FLAIR MR image.
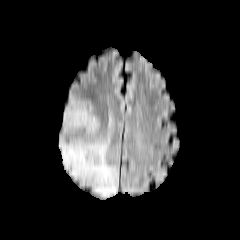
T1-weighted MR image.
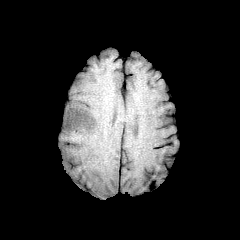
Post-contrast T1-weighted MR.
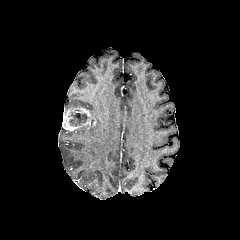
T2-weighted MR image.
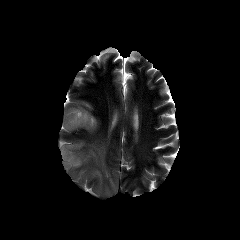
Axial slice, Brain
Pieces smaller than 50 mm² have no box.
peritumoral edema: bounding box x1=64 y1=100 x2=91 y2=113, x1=59 y1=125 x2=117 y2=197, x1=74 y1=114 x2=98 y2=134
enhancing tumor: bounding box x1=62 y1=107 x2=96 y2=131
necrotic tumor core: bounding box x1=69 y1=112 x2=88 y2=125